FLAIR MR.
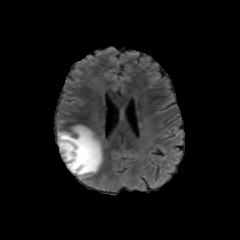
T1-weighted MR.
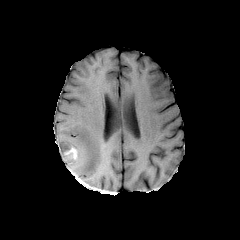
Post-contrast T1-weighted MRI.
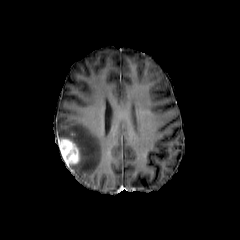
T2-weighted magnetic resonance.
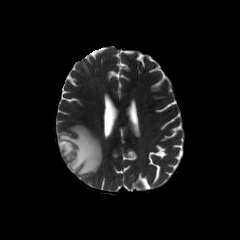
Brain | 240x240
peritumoral_edema:
  - <bbox>58, 125, 102, 179</bbox>
enhancing_tumor:
  - <bbox>58, 138, 80, 171</bbox>